Head; Slice index 90
FLAIR MRI.
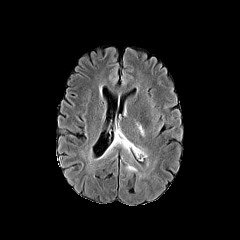
T1-weighted magnetic resonance.
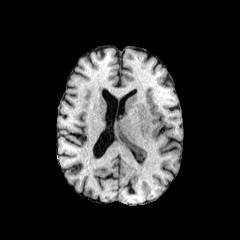
Post-contrast T1-weighted magnetic resonance.
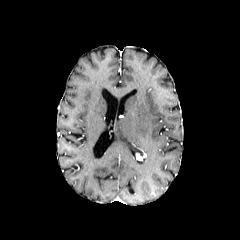
T2-weighted MR.
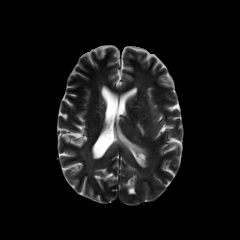
peritumoral edema: {"x1": 135, "y1": 121, "x2": 144, "y2": 136}, {"x1": 109, "y1": 128, "x2": 148, "y2": 161}, {"x1": 125, "y1": 164, "x2": 137, "y2": 173}